Axial slice, Brain
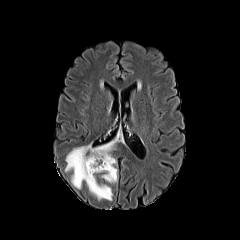
FLAIR MR.
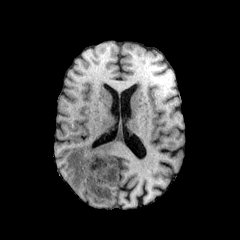
T1-weighted MRI.
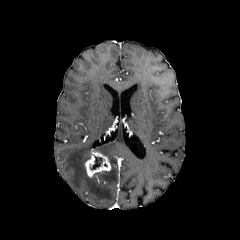
Post-contrast T1-weighted magnetic resonance.
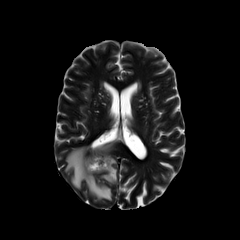
Same slice, T2-weighted magnetic resonance.
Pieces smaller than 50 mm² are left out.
{"enhancing_tumor": ["85 149 111 177"], "necrotic_tumor_core": ["90 155 102 169"], "peritumoral_edema": ["65 144 112 200", "93 137 117 183"]}